FLAIR MRI.
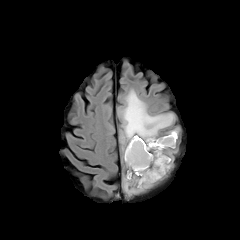
T1-weighted MRI.
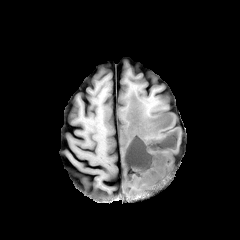
Post-contrast T1-weighted MR image.
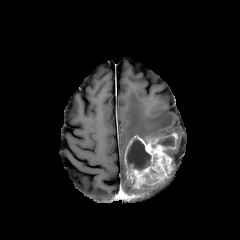
T2-weighted MR image.
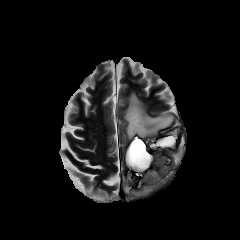
Brain
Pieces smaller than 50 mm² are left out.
The enhancing tumor lies within x1=124 y1=132 x2=177 y2=188. The 2 largest peritumoral edema regions are bounded by x1=121 y1=91 x2=174 y2=155, x1=123 y1=175 x2=151 y2=194. The 2 largest necrotic tumor core regions appear at x1=126 y1=139 x2=150 y2=170, x1=158 y1=137 x2=174 y2=146.